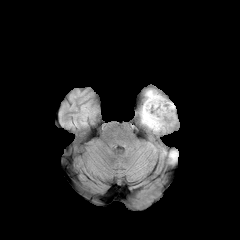
FLAIR magnetic resonance.
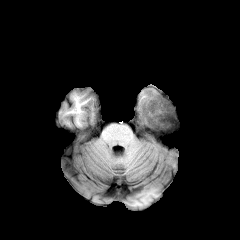
T1-weighted MR image.
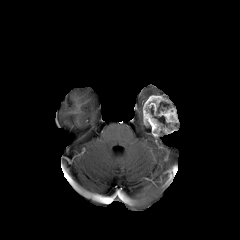
Post-contrast T1-weighted MRI of the same slice.
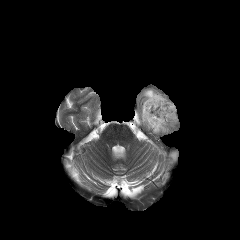
T2-weighted MR of the same slice.
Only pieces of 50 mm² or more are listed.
enhancing tumor at l=142, t=95, r=178, b=137
peritumoral edema at l=145, t=89, r=159, b=99; l=170, t=151, r=178, b=162
necrotic tumor core at l=154, t=116, r=167, b=125; l=157, t=102, r=169, b=112